FLAIR MR.
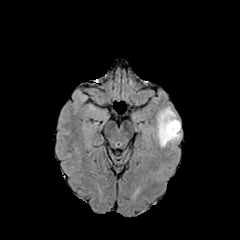
T1-weighted MRI.
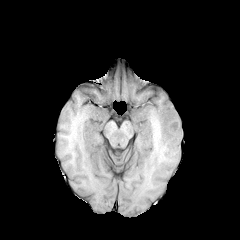
Post-contrast T1-weighted MRI.
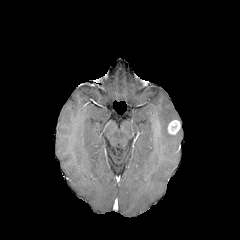
T2-weighted magnetic resonance.
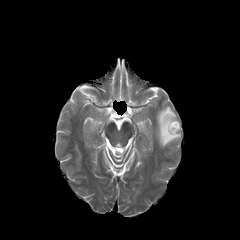
Head. Axial slice.
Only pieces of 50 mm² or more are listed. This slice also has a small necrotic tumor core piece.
enhancing tumor = <box>167,120,180,135</box>
peritumoral edema = <box>151,106,181,147</box>